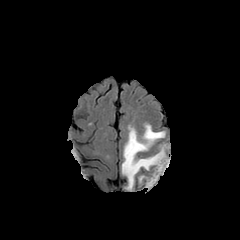
FLAIR MRI.
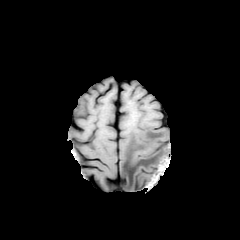
T1-weighted magnetic resonance of the same slice.
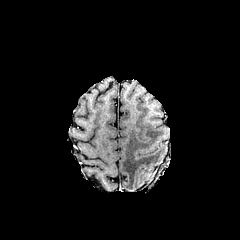
Post-contrast T1-weighted MR image of the same slice.
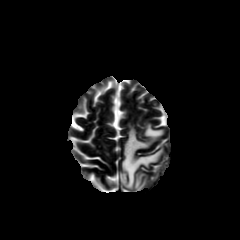
T2-weighted MRI.
Brain | Axial slice | 240x240
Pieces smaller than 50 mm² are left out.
peritumoral_edema:
  - x1=121 y1=124 x2=165 y2=190